Slice index 83; 240x240 px; Head; Image width 240 mm
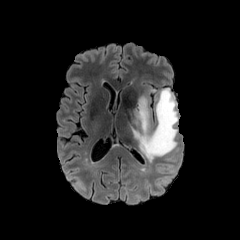
FLAIR MR image.
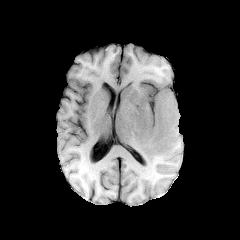
T1-weighted MRI of the same slice.
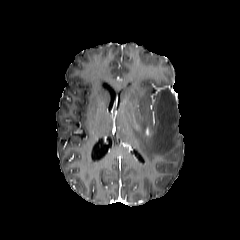
Same slice, post-contrast T1-weighted MR image.
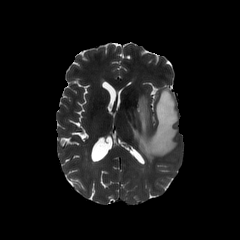
Same slice, T2-weighted MR.
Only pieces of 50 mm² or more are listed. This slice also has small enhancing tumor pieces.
The peritumoral edema is located at left=131, top=88, right=178, bottom=161.